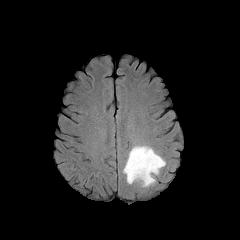
FLAIR MRI.
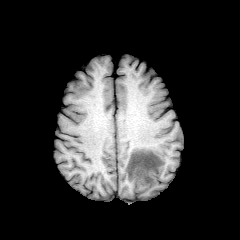
T1-weighted MR.
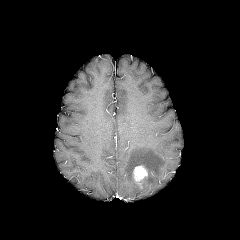
Post-contrast T1-weighted MR.
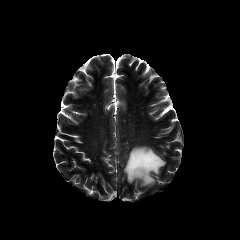
T2-weighted MR of the same slice.
{
  "peritumoral_edema": [
    "region(123, 145, 165, 187)"
  ],
  "enhancing_tumor": [
    "region(133, 165, 147, 185)"
  ]
}